Head | Slice 61/155
FLAIR MRI.
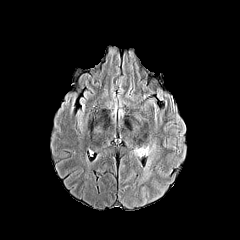
T1-weighted MRI.
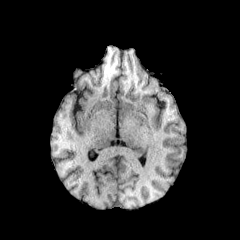
Post-contrast T1-weighted magnetic resonance.
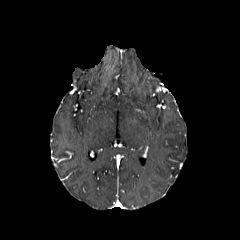
T2-weighted MRI.
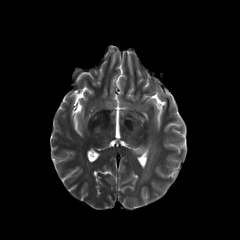
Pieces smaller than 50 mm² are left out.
Annotated regions:
- peritumoral edema: x1=133, y1=149, x2=144, y2=156